240x240
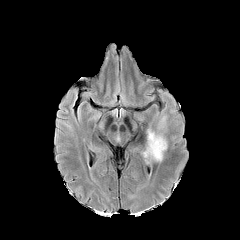
FLAIR MR.
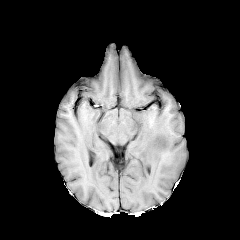
T1-weighted magnetic resonance of the same slice.
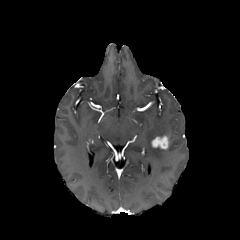
Post-contrast T1-weighted MRI.
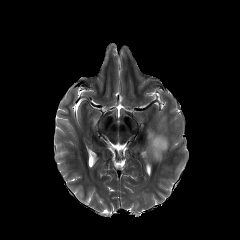
Same slice, T2-weighted MR image.
2 peritumoral edema regions are bounded by <box>143,128,166,163</box>, <box>158,117,165,130</box>. The enhancing tumor lies within <box>151,135,169,149</box>.